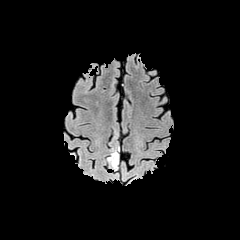
FLAIR MRI.
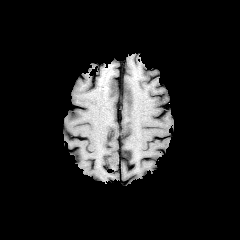
T1-weighted MR image.
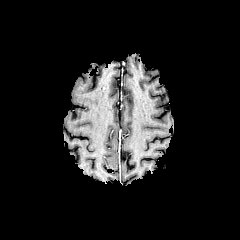
Post-contrast T1-weighted MR image of the same slice.
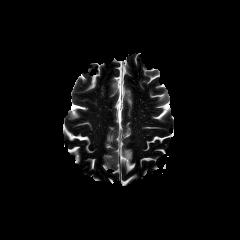
T2-weighted MR image.
Axial plane; Head
peritumoral edema: (left=107, top=151, right=118, bottom=169)